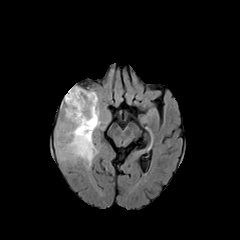
FLAIR magnetic resonance.
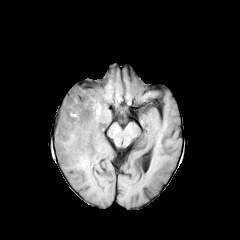
T1-weighted magnetic resonance.
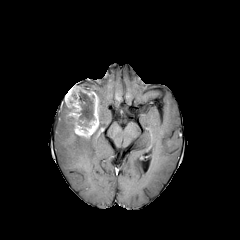
Post-contrast T1-weighted magnetic resonance.
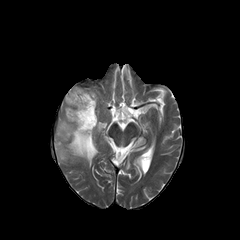
T2-weighted MR image.
Head | Image size 240x240 | Axial view
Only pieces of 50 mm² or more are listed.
peritumoral edema: [56,107,98,165] | necrotic tumor core: [78,91,94,122] | enhancing tumor: [65,86,99,138]